Image width 240 mm, 1.00 mm slice spacing; Axial plane; Slice index 77
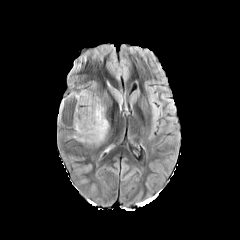
FLAIR MR image.
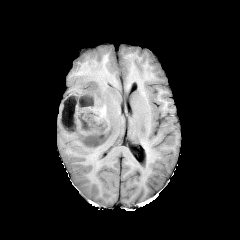
T1-weighted magnetic resonance.
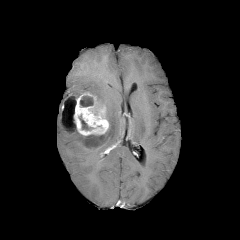
Post-contrast T1-weighted MRI.
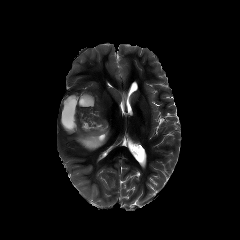
T2-weighted MRI of the same slice.
3 necrotic tumor core regions are located at 60 97 76 133, 80 96 93 106, 79 115 91 130. The enhancing tumor is located at 59 93 108 135. 2 peritumoral edema regions are bounded by 71 84 111 112, 73 129 108 147.